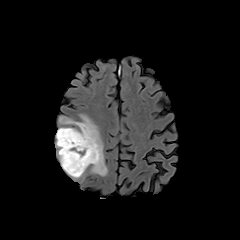
FLAIR magnetic resonance.
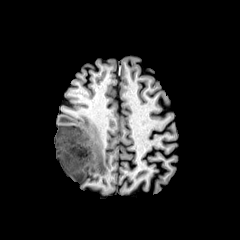
T1-weighted MR.
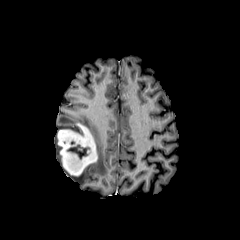
Post-contrast T1-weighted MR image.
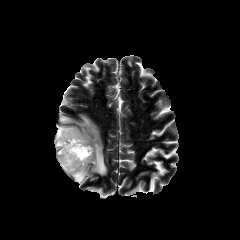
T2-weighted MRI of the same slice.
Image size 240x240; Axial plane; Head
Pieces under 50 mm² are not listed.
peritumoral edema = (x1=55, y1=114, x2=107, y2=182)
enhancing tumor = (x1=57, y1=123, x2=97, y2=176)
necrotic tumor core = (x1=67, y1=145, x2=89, y2=159)